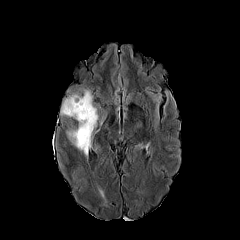
FLAIR magnetic resonance.
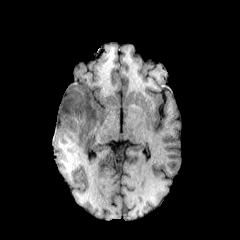
T1-weighted magnetic resonance.
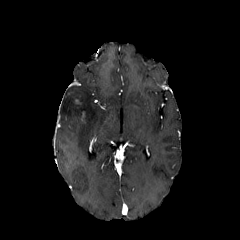
Post-contrast T1-weighted MR.
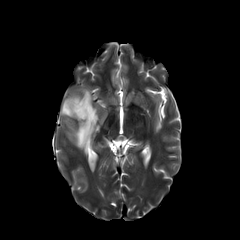
Same slice, T2-weighted MR.
Head | Axial slice
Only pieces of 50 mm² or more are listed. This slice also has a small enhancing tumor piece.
The peritumoral edema is at (60, 89, 98, 157).